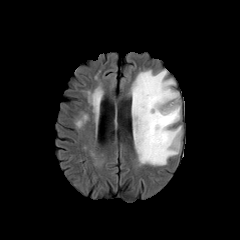
FLAIR magnetic resonance.
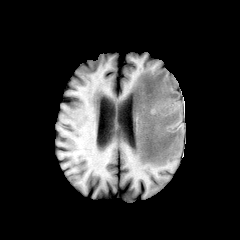
Same slice, T1-weighted MR.
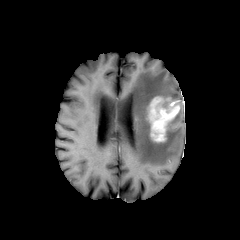
Same slice, post-contrast T1-weighted MR image.
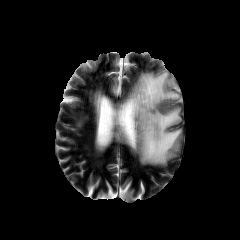
T2-weighted MR of the same slice.
Image size 240x240. Axial plane.
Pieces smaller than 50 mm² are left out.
Annotated regions:
• enhancing tumor: x1=147 y1=96 x2=179 y2=142
• peritumoral edema: x1=131 y1=69 x2=182 y2=165